Slice 67 of 155; Axial plane; 240x240 px
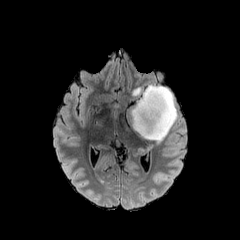
FLAIR MR image.
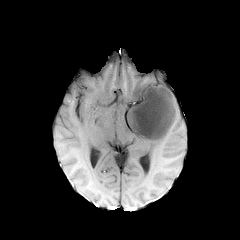
Same slice, T1-weighted MRI.
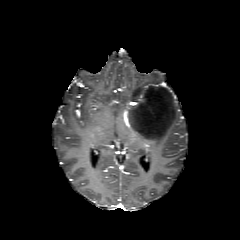
Post-contrast T1-weighted MR image of the same slice.
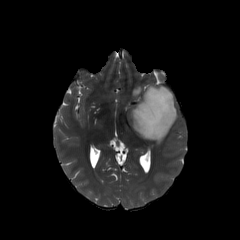
T2-weighted MR.
peritumoral_edema:
  - 127 84 177 143